240x240. Head.
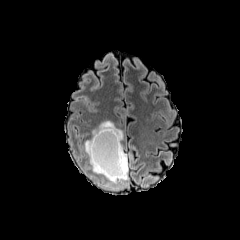
FLAIR MR image.
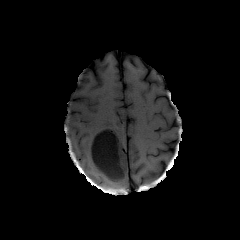
T1-weighted MRI.
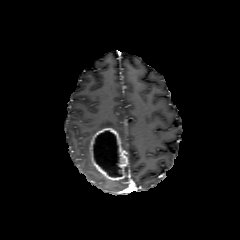
Same slice, post-contrast T1-weighted MR image.
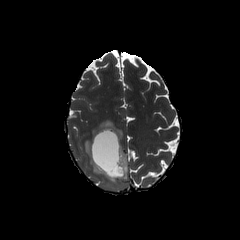
T2-weighted MRI of the same slice.
peritumoral edema: (left=91, top=165, right=128, bottom=183), (left=92, top=120, right=123, bottom=140), (left=84, top=138, right=92, bottom=166)
necrotic tumor core: (left=93, top=131, right=122, bottom=177)
enhancing tumor: (left=89, top=127, right=128, bottom=180)